240x240 px, Brain
FLAIR magnetic resonance.
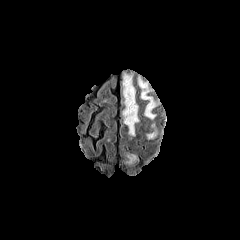
T1-weighted MR.
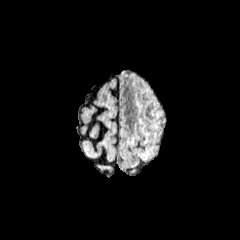
Post-contrast T1-weighted MR image.
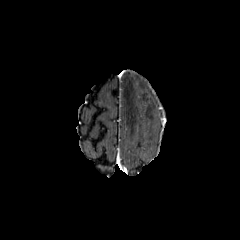
T2-weighted MR image.
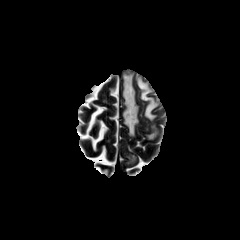
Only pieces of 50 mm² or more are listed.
peritumoral_edema:
  - 147,131,156,138
  - 122,74,138,135
  - 138,77,156,119
  - 125,154,136,164